FLAIR MRI.
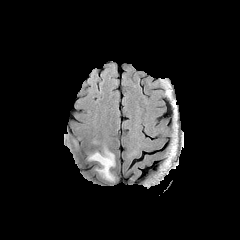
T1-weighted magnetic resonance.
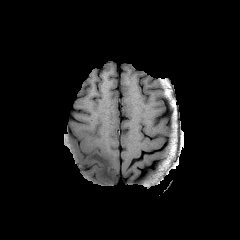
Post-contrast T1-weighted magnetic resonance.
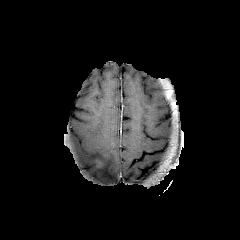
T2-weighted MR image.
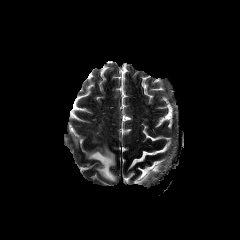
Head | Axial slice
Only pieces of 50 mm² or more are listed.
peritumoral edema: region(88, 146, 115, 181)